Slice 95 of 155; Axial view; Brain
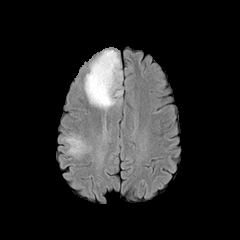
FLAIR MR.
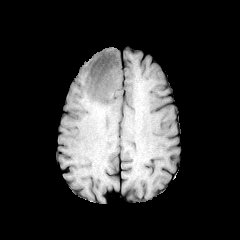
T1-weighted magnetic resonance of the same slice.
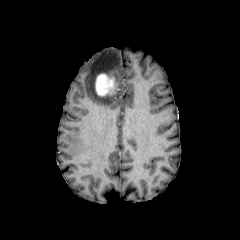
Post-contrast T1-weighted magnetic resonance of the same slice.
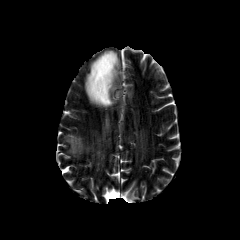
T2-weighted MR image of the same slice.
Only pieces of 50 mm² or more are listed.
{
  "peritumoral_edema": [
    "rect(84, 49, 121, 109)"
  ],
  "enhancing_tumor": [
    "rect(95, 73, 115, 96)"
  ]
}